Axial view. Slice 38 of 155. Head.
FLAIR MR image.
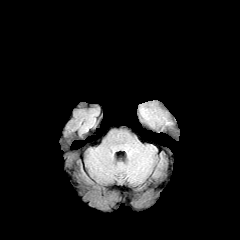
T1-weighted MRI.
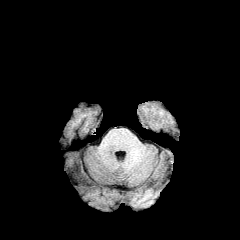
Post-contrast T1-weighted magnetic resonance.
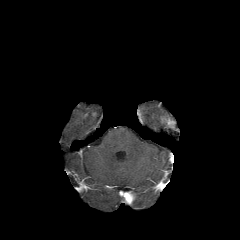
T2-weighted MR.
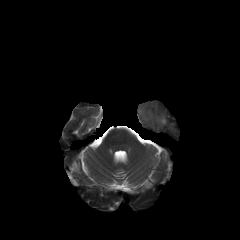
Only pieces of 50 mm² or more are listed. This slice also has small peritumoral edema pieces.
Segmented structures:
* enhancing tumor: x1=161 y1=117 x2=174 y2=128